FLAIR magnetic resonance.
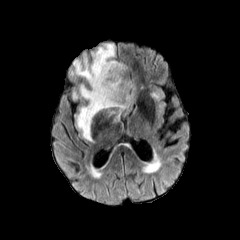
T1-weighted MR image.
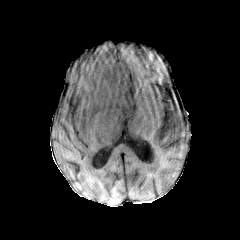
Post-contrast T1-weighted magnetic resonance.
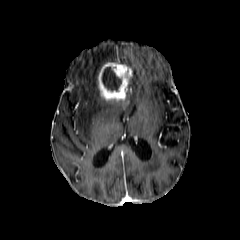
T2-weighted magnetic resonance.
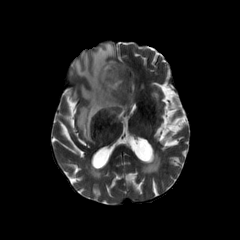
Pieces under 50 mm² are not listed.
<segmentation>
  <necrotic_tumor_core>bbox=[102, 67, 121, 90]</necrotic_tumor_core>
  <peritumoral_edema>bbox=[70, 43, 122, 139]; bbox=[128, 78, 133, 106]</peritumoral_edema>
  <enhancing_tumor>bbox=[97, 62, 131, 108]</enhancing_tumor>
</segmentation>